Slice index 37; Axial slice
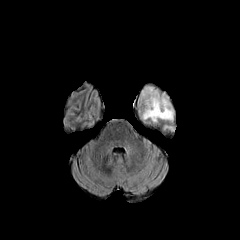
FLAIR MR image.
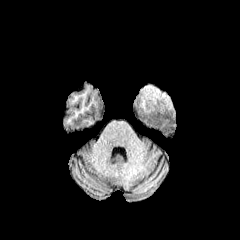
T1-weighted MR image of the same slice.
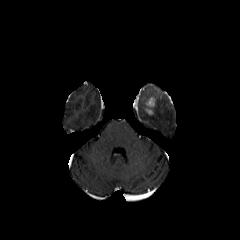
Post-contrast T1-weighted MR.
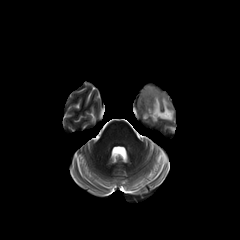
T2-weighted MR.
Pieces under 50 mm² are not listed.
The largest peritumoral edema region is located at 141, 87, 173, 122. The enhancing tumor is at 145, 97, 155, 115.